Image size 240x240 | Axial plane | Head
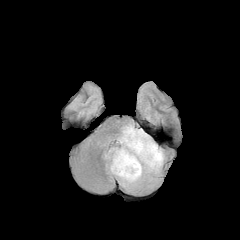
FLAIR magnetic resonance.
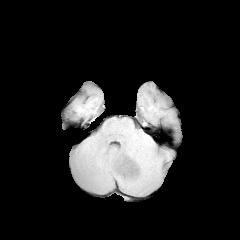
T1-weighted magnetic resonance.
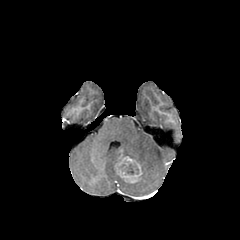
Post-contrast T1-weighted MRI of the same slice.
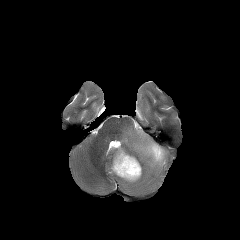
Same slice, T2-weighted MRI.
enhancing tumor: 114:154:141:182 | necrotic tumor core: 120:163:138:174 | peritumoral edema: 104:124:165:192